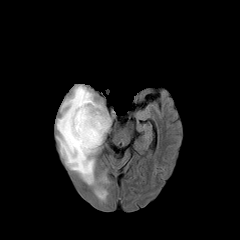
FLAIR magnetic resonance.
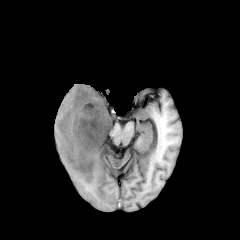
T1-weighted MRI of the same slice.
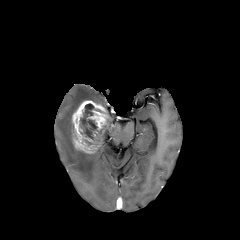
Post-contrast T1-weighted MR image of the same slice.
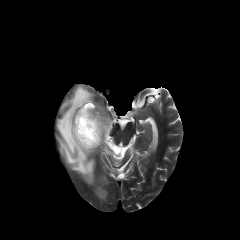
T2-weighted MR.
Axial view
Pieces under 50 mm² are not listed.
<segmentation>
  <enhancing_tumor>{"x1": 72, "y1": 100, "x2": 111, "y2": 153}</enhancing_tumor>
  <necrotic_tumor_core>{"x1": 80, "y1": 104, "x2": 97, "y2": 139}</necrotic_tumor_core>
  <peritumoral_edema>{"x1": 96, "y1": 189, "x2": 106, "y2": 199}, {"x1": 56, "y1": 85, "x2": 100, "y2": 184}</peritumoral_edema>
</segmentation>